FLAIR MRI.
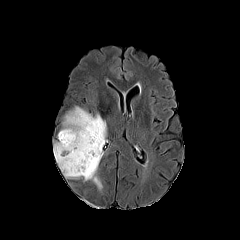
T1-weighted MR.
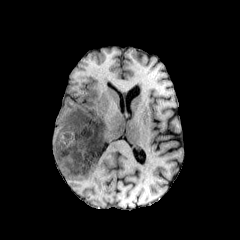
Post-contrast T1-weighted MR image.
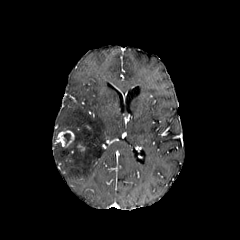
T2-weighted MR image.
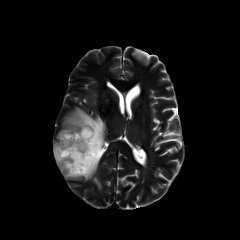
Axial slice
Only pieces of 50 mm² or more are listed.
necrotic_tumor_core:
  - region(64, 133, 71, 144)
peritumoral_edema:
  - region(54, 107, 106, 187)
enhancing_tumor:
  - region(58, 130, 74, 147)